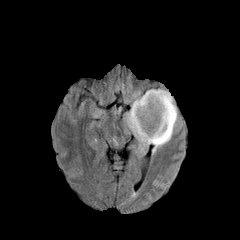
FLAIR MR image.
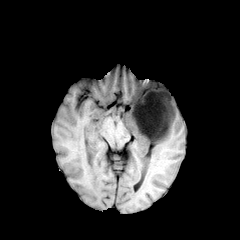
T1-weighted MR of the same slice.
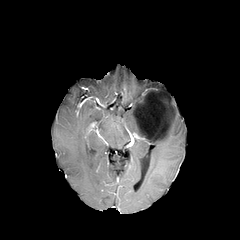
Post-contrast T1-weighted MR of the same slice.
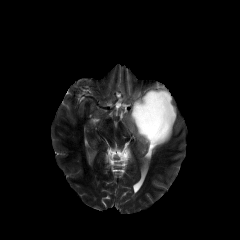
T2-weighted MR image.
• peritumoral edema: bbox=[126, 87, 177, 153]
• enhancing tumor: bbox=[132, 90, 174, 142]
• necrotic tumor core: bbox=[134, 91, 172, 140]